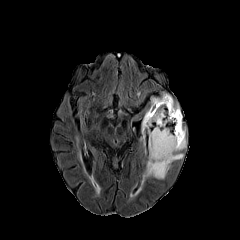
FLAIR MRI.
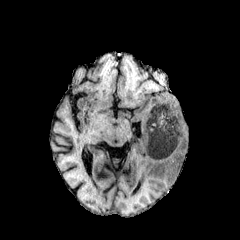
T1-weighted MR.
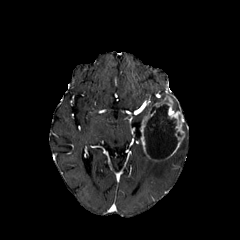
Same slice, post-contrast T1-weighted MR image.
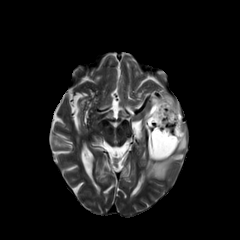
Same slice, T2-weighted magnetic resonance.
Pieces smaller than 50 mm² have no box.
The largest necrotic tumor core region lies within 144,104,177,159. The 2 largest peritumoral edema regions are bounded by 141,136,186,184; 150,93,168,107. 2 enhancing tumor regions appear at 141,107,161,161; 153,95,185,159.